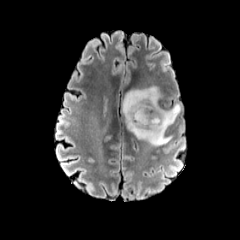
FLAIR MR image.
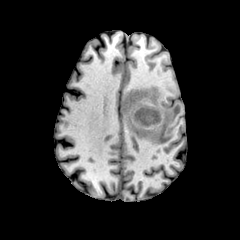
Same slice, T1-weighted MR image.
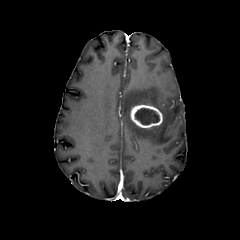
Same slice, post-contrast T1-weighted MR.
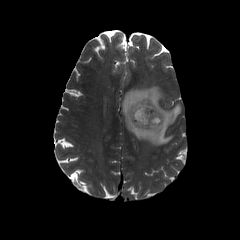
T2-weighted magnetic resonance.
Head; 240x240
The peritumoral edema appears at x1=121, y1=85, x2=180, y2=145. The necrotic tumor core appears at x1=135, y1=108, x2=159, y2=124. The enhancing tumor is bounded by x1=130, y1=104, x2=162, y2=128.